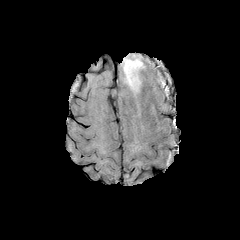
FLAIR MR image.
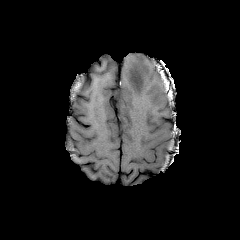
T1-weighted magnetic resonance of the same slice.
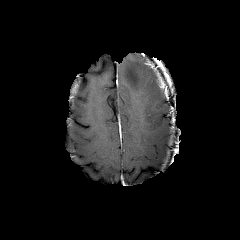
Same slice, post-contrast T1-weighted MR.
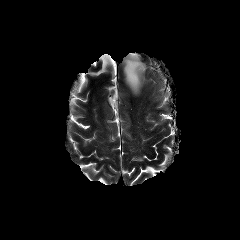
Same slice, T2-weighted MR.
peritumoral_edema:
  - x1=123, y1=53, x2=145, y2=94